Image covers 240 mm x 240 mm, Axial slice
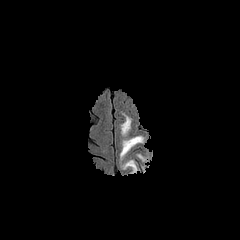
FLAIR magnetic resonance.
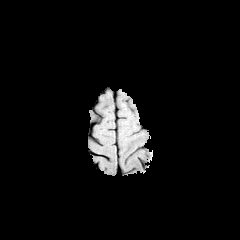
T1-weighted magnetic resonance of the same slice.
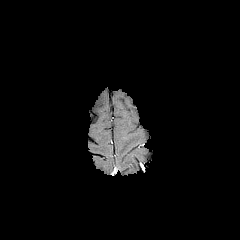
Post-contrast T1-weighted MR of the same slice.
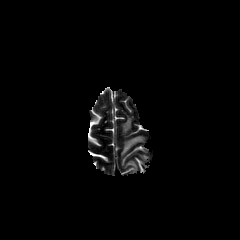
Same slice, T2-weighted MR.
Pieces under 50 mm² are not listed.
{
  "peritumoral_edema": [
    "120 114 132 136",
    "120 135 144 160",
    "122 160 137 173"
  ]
}